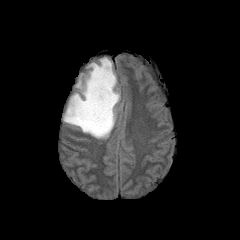
FLAIR MRI.
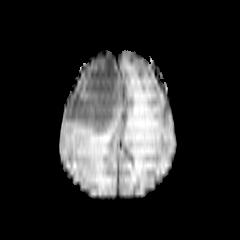
T1-weighted MRI.
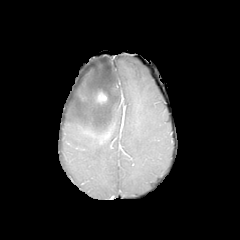
Same slice, post-contrast T1-weighted magnetic resonance.
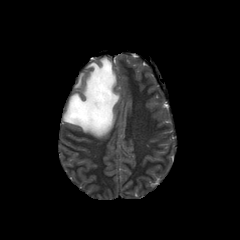
Same slice, T2-weighted MR.
The enhancing tumor lies within 96 91 107 104. The peritumoral edema lies within 63 57 120 138.